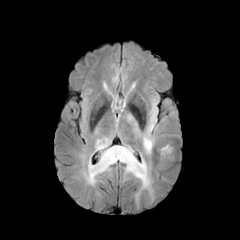
FLAIR MR image.
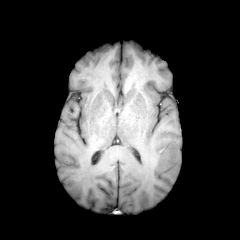
Same slice, T1-weighted MR.
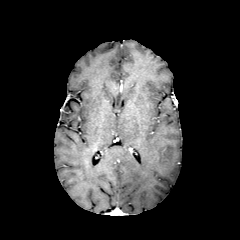
Post-contrast T1-weighted MRI.
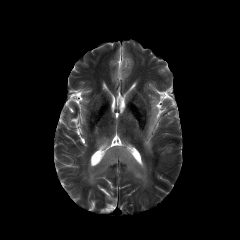
T2-weighted MR of the same slice.
Axial slice; 240x240 px; Head
peritumoral edema: bounding box region(143, 110, 155, 153); region(86, 138, 151, 191); region(161, 145, 172, 155)